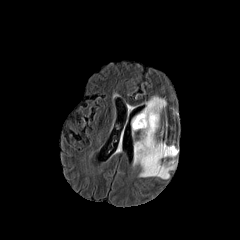
FLAIR MR.
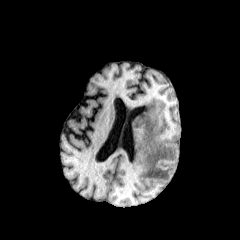
T1-weighted MR image of the same slice.
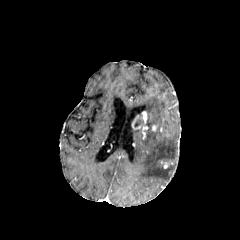
Same slice, post-contrast T1-weighted magnetic resonance.
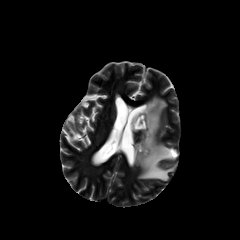
Same slice, T2-weighted MR image.
Axial slice
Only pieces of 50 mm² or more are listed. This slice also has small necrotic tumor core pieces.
peritumoral edema = {"x1": 133, "y1": 96, "x2": 177, "y2": 179}, {"x1": 132, "y1": 114, "x2": 143, "y2": 130}
enhancing tumor = {"x1": 142, "y1": 111, "x2": 147, "y2": 123}